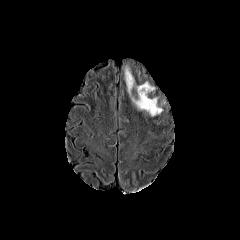
FLAIR MRI.
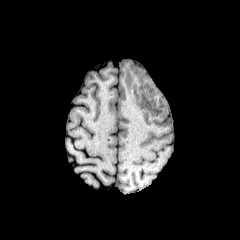
Same slice, T1-weighted MRI.
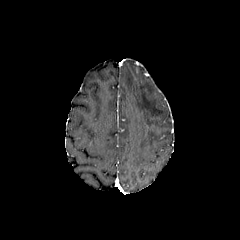
Post-contrast T1-weighted magnetic resonance of the same slice.
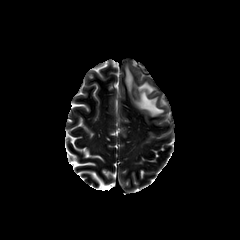
T2-weighted MR of the same slice.
Image size 240x240
2 peritumoral edema regions are bounded by l=125, t=66, r=134, b=95; l=132, t=82, r=162, b=116.